Slice 65 of 155, Image width 240 mm, 1.00 mm slice spacing, Axial plane, Brain
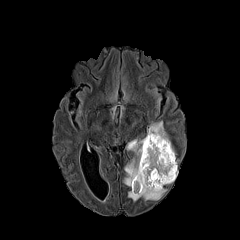
FLAIR magnetic resonance.
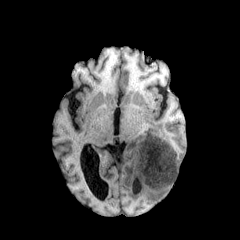
T1-weighted MRI of the same slice.
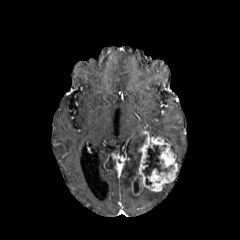
Post-contrast T1-weighted magnetic resonance of the same slice.
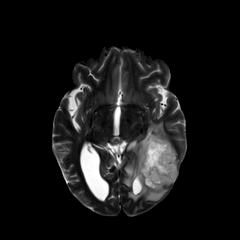
T2-weighted MR of the same slice.
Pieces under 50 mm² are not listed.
peritumoral edema: 147 121 175 154, 123 137 167 201 | enhancing tumor: 132 133 177 194 | necrotic tumor core: 142 145 172 176, 134 181 138 193